FLAIR MRI.
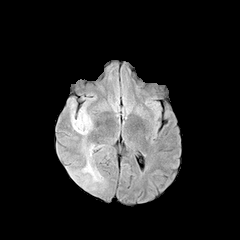
T1-weighted MR.
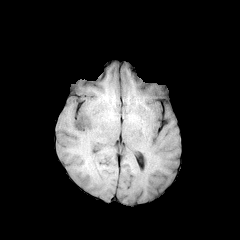
Post-contrast T1-weighted magnetic resonance.
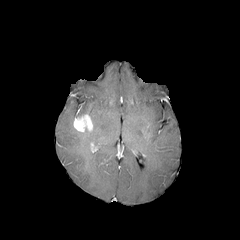
T2-weighted MR image.
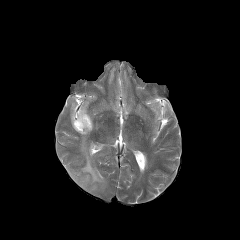
Image size 240x240
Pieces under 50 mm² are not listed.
peritumoral edema = 70 102 105 190, 77 104 87 117
enhancing tumor = 73 114 92 132